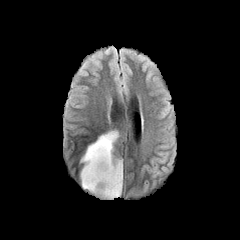
FLAIR magnetic resonance.
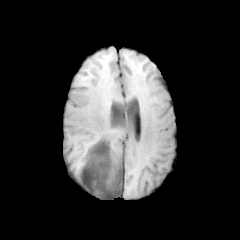
Same slice, T1-weighted MR image.
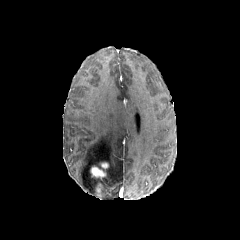
Same slice, post-contrast T1-weighted magnetic resonance.
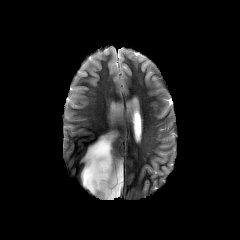
T2-weighted MRI.
Head, Axial plane
The peritumoral edema is bounded by left=80, top=131, right=122, bottom=198. 2 enhancing tumor regions are located at left=96, top=183, right=103, bottom=197; left=90, top=162, right=108, bottom=179.